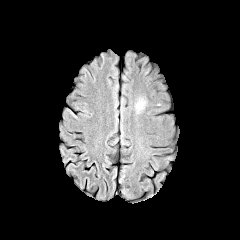
FLAIR MRI.
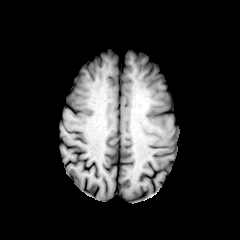
T1-weighted MR of the same slice.
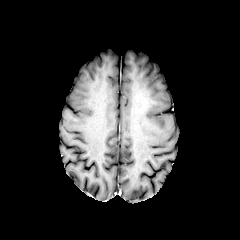
Post-contrast T1-weighted MR image.
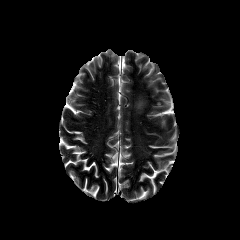
T2-weighted MR image.
Head, 240x240
- peritumoral edema: <bbox>135, 100, 144, 110</bbox>